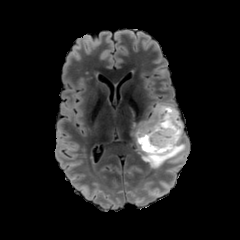
FLAIR magnetic resonance.
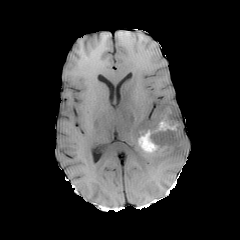
T1-weighted MR of the same slice.
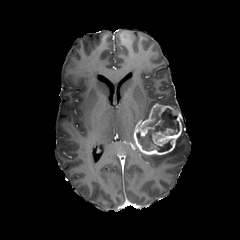
Post-contrast T1-weighted MR of the same slice.
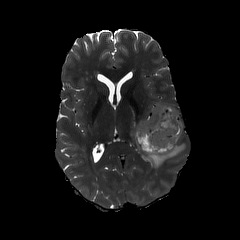
Same slice, T2-weighted MRI.
Brain | 240x240 | Axial slice
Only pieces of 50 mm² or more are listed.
necrotic_tumor_core:
  - 136,106,179,150
  - 157,140,171,151
enhancing_tumor:
  - 133,104,182,155
peritumoral_edema:
  - 138,131,186,168